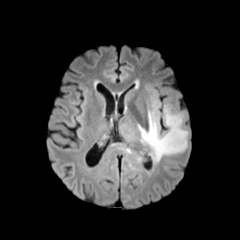
FLAIR MR image.
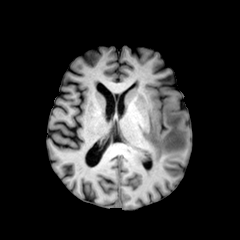
T1-weighted MRI.
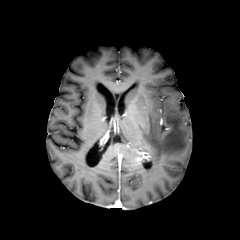
Post-contrast T1-weighted MR image.
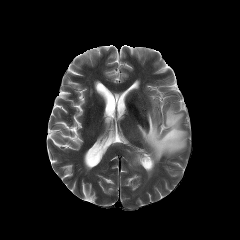
T2-weighted magnetic resonance.
240x240
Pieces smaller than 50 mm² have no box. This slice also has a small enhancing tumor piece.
peritumoral edema: box=[138, 107, 187, 162]